FLAIR MR.
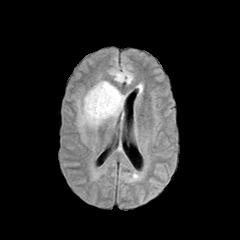
T1-weighted MRI.
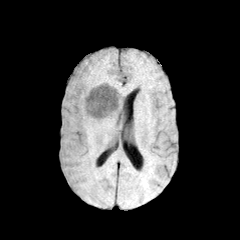
Post-contrast T1-weighted MR.
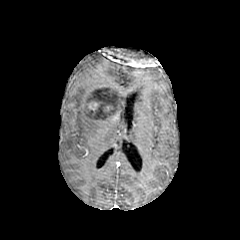
T2-weighted MR.
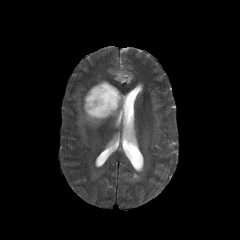
Brain; Axial slice
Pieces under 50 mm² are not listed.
Findings:
- enhancing tumor: x1=86 y1=85 x2=117 y2=119, x1=107 y1=97 x2=119 y2=119
- peritumoral edema: x1=108 y1=67 x2=133 y2=84, x1=77 y1=80 x2=123 y2=130
- necrotic tumor core: x1=87 y1=88 x2=118 y2=118